Brain; Slice 86/155
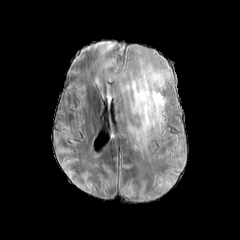
FLAIR magnetic resonance.
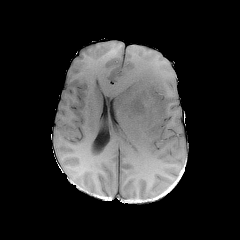
Same slice, T1-weighted MRI.
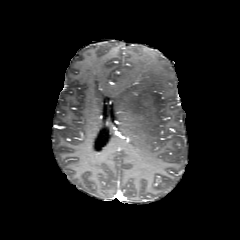
Post-contrast T1-weighted MRI.
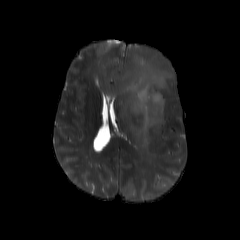
T2-weighted magnetic resonance.
peritumoral edema = (115,60,172,143)